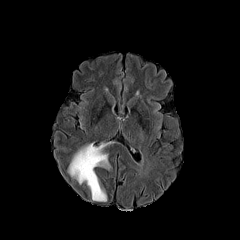
FLAIR MR.
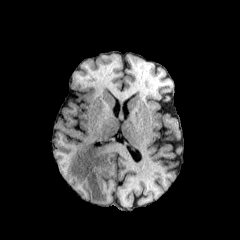
T1-weighted MR image of the same slice.
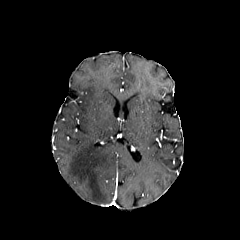
Post-contrast T1-weighted MR.
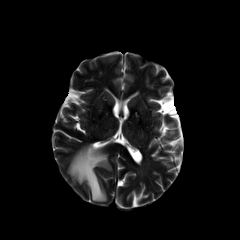
T2-weighted MR image.
Head.
The peritumoral edema is at x1=68 y1=143 x2=110 y2=201.